FLAIR MRI.
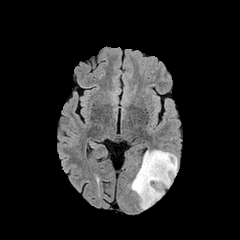
T1-weighted MRI.
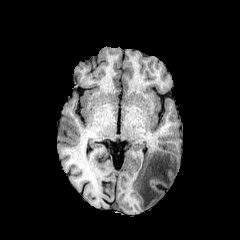
Post-contrast T1-weighted MR.
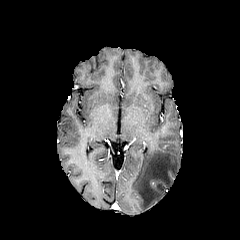
T2-weighted MR.
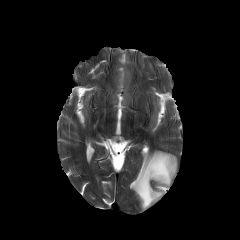
Head.
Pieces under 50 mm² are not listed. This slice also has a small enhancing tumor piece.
peritumoral edema: bounding box bbox=[130, 150, 177, 209]
necrotic tumor core: bounding box bbox=[157, 183, 165, 191]